FLAIR MR.
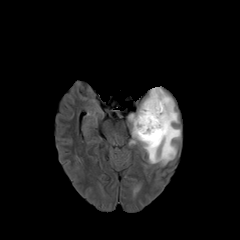
T1-weighted magnetic resonance.
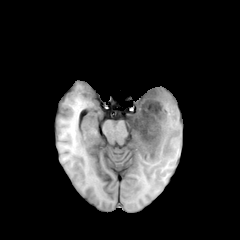
Post-contrast T1-weighted MRI.
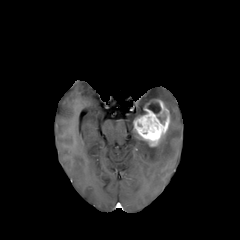
T2-weighted MR image.
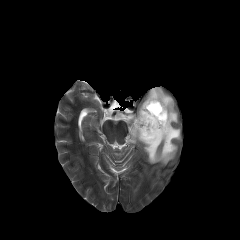
Head
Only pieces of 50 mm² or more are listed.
The enhancing tumor is located at rect(133, 99, 170, 146). The peritumoral edema is at rect(128, 87, 180, 165). The largest necrotic tumor core region lies within rect(147, 102, 160, 113).